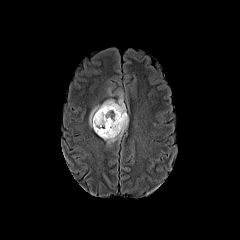
FLAIR magnetic resonance.
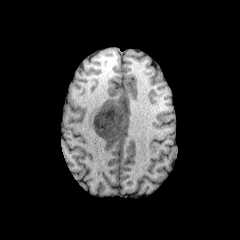
T1-weighted MR image of the same slice.
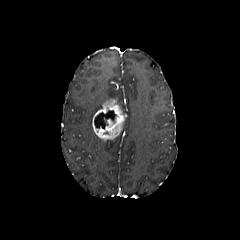
Post-contrast T1-weighted MR of the same slice.
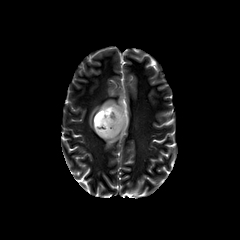
T2-weighted magnetic resonance of the same slice.
Axial plane
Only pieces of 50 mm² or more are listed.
Annotated regions:
• necrotic tumor core: {"x1": 94, "y1": 110, "x2": 116, "y2": 128}
• enhancing tumor: {"x1": 92, "y1": 99, "x2": 126, "y2": 140}
• peritumoral edema: {"x1": 106, "y1": 114, "x2": 128, "y2": 144}, {"x1": 117, "y1": 92, "x2": 126, "y2": 113}, {"x1": 89, "y1": 105, "x2": 102, "y2": 127}